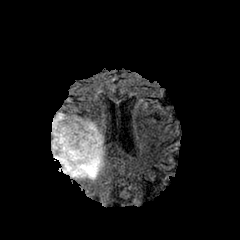
FLAIR MRI.
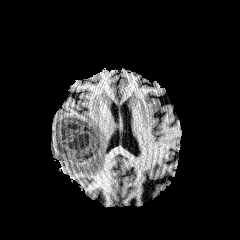
T1-weighted magnetic resonance.
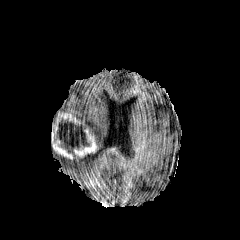
Post-contrast T1-weighted MRI.
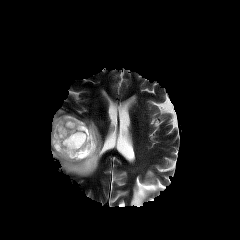
T2-weighted MR image.
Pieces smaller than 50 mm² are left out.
enhancing tumor: bbox=[51, 113, 98, 160] | peritumoral edema: bbox=[51, 114, 103, 177] | necrotic tumor core: bbox=[54, 122, 89, 158]